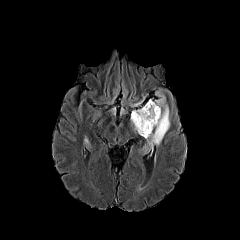
FLAIR magnetic resonance.
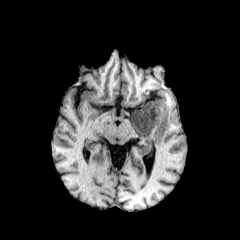
T1-weighted magnetic resonance.
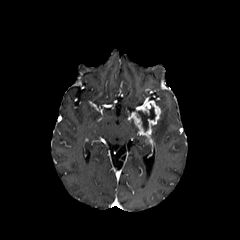
Same slice, post-contrast T1-weighted magnetic resonance.
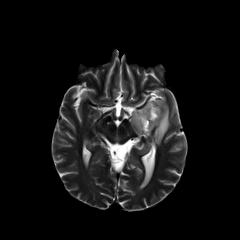
T2-weighted MRI of the same slice.
Image size 240x240
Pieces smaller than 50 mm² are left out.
peritumoral edema: (143, 92, 170, 146) | necrotic tumor core: (137, 105, 155, 131) | enhancing tumor: (131, 100, 161, 137)